Slice 95 of 155. Brain.
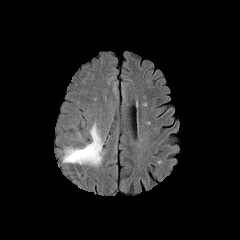
FLAIR MR.
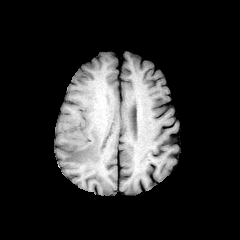
T1-weighted MR.
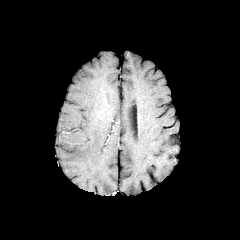
Same slice, post-contrast T1-weighted magnetic resonance.
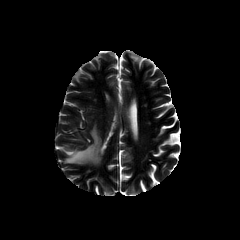
T2-weighted MR.
The peritumoral edema is bounded by left=63, top=124, right=102, bottom=165.